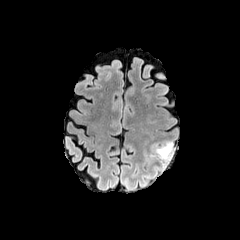
FLAIR MR image.
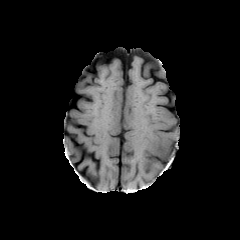
Same slice, T1-weighted MR image.
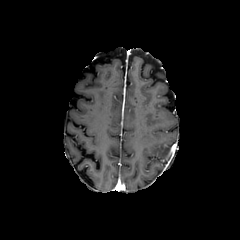
Same slice, post-contrast T1-weighted MR.
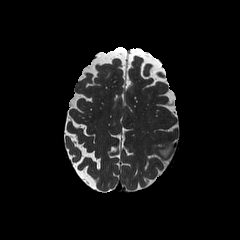
T2-weighted MR.
Axial view | Head
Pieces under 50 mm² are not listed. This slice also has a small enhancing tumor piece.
<segmentation>
  <peritumoral_edema>{"x1": 155, "y1": 142, "x2": 173, "y2": 168}</peritumoral_edema>
</segmentation>